FLAIR MR image.
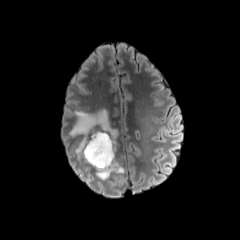
T1-weighted MR.
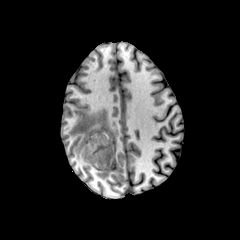
Post-contrast T1-weighted MR.
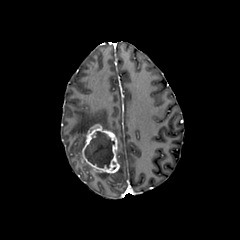
T2-weighted magnetic resonance.
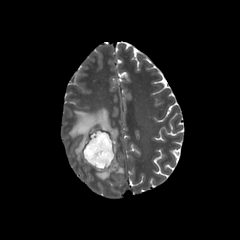
Image size 240x240, Axial plane, Head
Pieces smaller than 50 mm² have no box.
enhancing tumor — (x1=81, y1=124, x2=119, y2=173)
peritumoral edema — (x1=69, y1=108, x2=118, y2=153), (x1=113, y1=164, x2=124, y2=174), (x1=96, y1=171, x2=111, y2=180)
necrotic tumor core — (x1=84, y1=131, x2=114, y2=167)